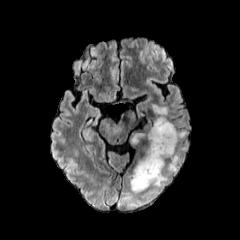
FLAIR MR image.
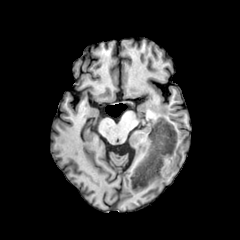
T1-weighted magnetic resonance.
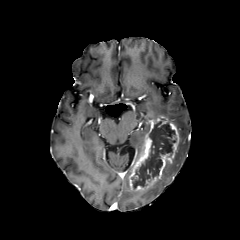
Same slice, post-contrast T1-weighted MR.
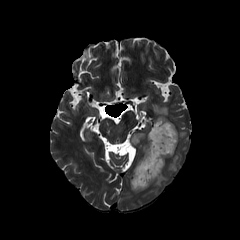
T2-weighted MR of the same slice.
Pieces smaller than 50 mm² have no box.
necrotic_tumor_core:
  - (132,121,175,188)
enhancing_tumor:
  - (129,115,179,190)
peritumoral_edema:
  - (152,175,167,186)
  - (152,105,168,116)
  - (178,130,187,143)
  - (164,145,187,172)
  - (133,133,144,142)